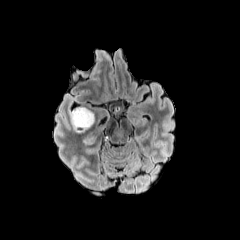
FLAIR magnetic resonance.
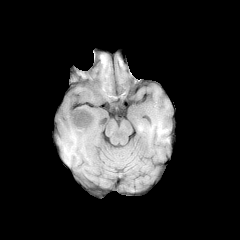
T1-weighted MR.
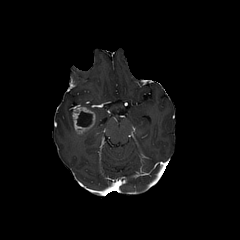
Post-contrast T1-weighted MR.
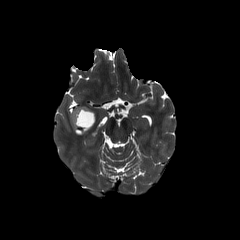
Same slice, T2-weighted MRI.
Head
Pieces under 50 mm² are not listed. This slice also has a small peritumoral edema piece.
<segmentation>
  <necrotic_tumor_core>[77, 111, 92, 126]</necrotic_tumor_core>
  <enhancing_tumor>[72, 105, 95, 134]</enhancing_tumor>
</segmentation>